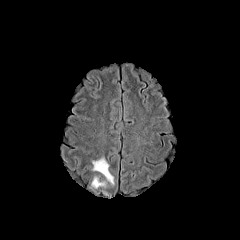
FLAIR magnetic resonance.
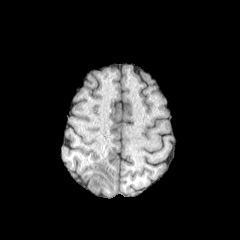
Same slice, T1-weighted magnetic resonance.
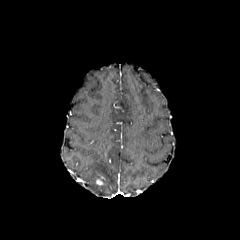
Post-contrast T1-weighted MR image.
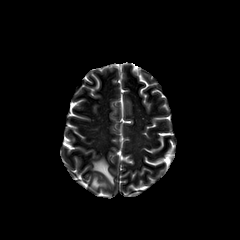
T2-weighted MRI.
240x240 px
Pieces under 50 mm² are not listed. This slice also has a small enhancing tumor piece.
peritumoral edema: bounding box box=[90, 157, 114, 189]